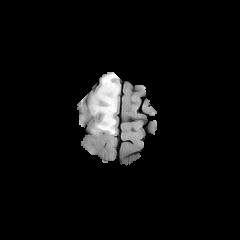
FLAIR MR.
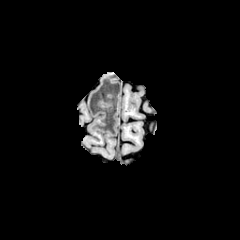
Same slice, T1-weighted MR.
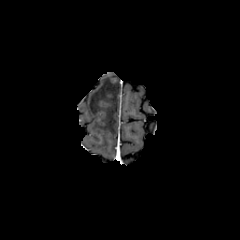
Post-contrast T1-weighted MR image of the same slice.
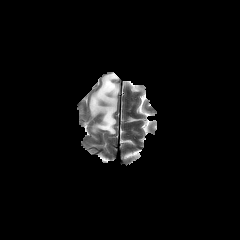
T2-weighted magnetic resonance of the same slice.
The peritumoral edema lies within (90, 73, 119, 134).